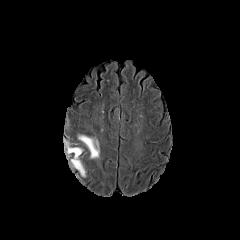
FLAIR MRI.
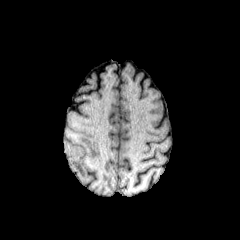
T1-weighted MR of the same slice.
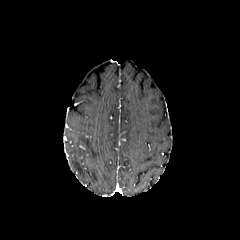
Post-contrast T1-weighted MR.
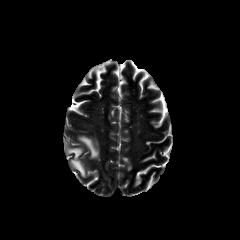
T2-weighted MR image of the same slice.
Head.
Findings:
- peritumoral edema: bbox=[78, 135, 99, 158]; bbox=[66, 142, 85, 176]